240x240 px; Brain; Slice index 73
FLAIR MR.
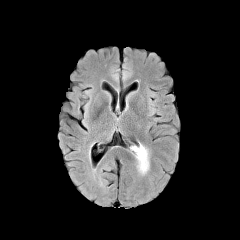
T1-weighted MR image.
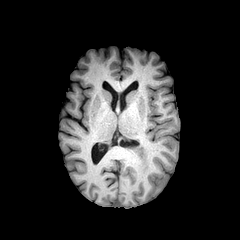
Post-contrast T1-weighted MR image.
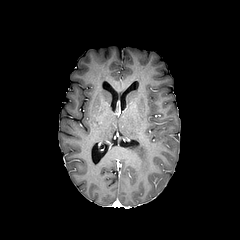
T2-weighted magnetic resonance.
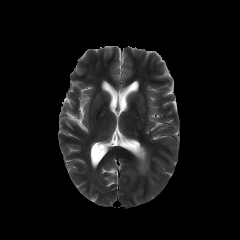
peritumoral_edema:
  - region(131, 145, 148, 173)